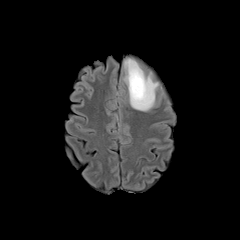
FLAIR MR image.
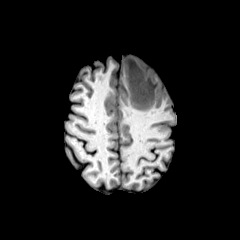
Same slice, T1-weighted MR.
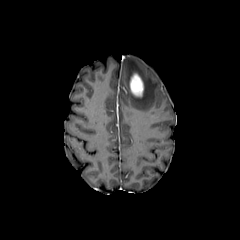
Post-contrast T1-weighted magnetic resonance of the same slice.
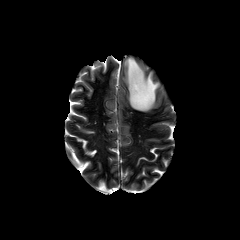
T2-weighted magnetic resonance of the same slice.
Axial view | 240x240
The enhancing tumor is at box=[130, 73, 143, 96]. The peritumoral edema is at box=[124, 58, 158, 111].